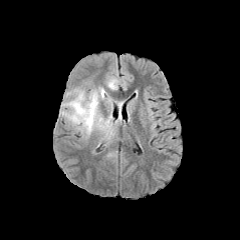
FLAIR MRI.
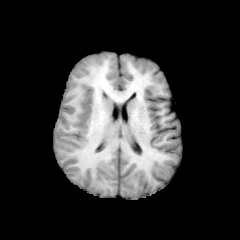
T1-weighted MR image.
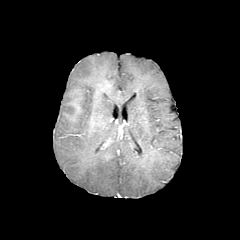
Post-contrast T1-weighted MRI.
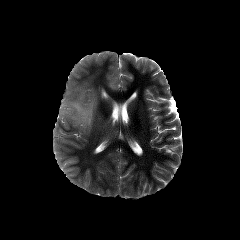
Same slice, T2-weighted MRI.
Axial plane. Image size 240x240.
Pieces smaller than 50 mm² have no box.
peritumoral edema — <box>62,89,112,135</box>, <box>108,79,117,89</box>